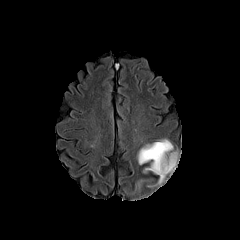
FLAIR magnetic resonance.
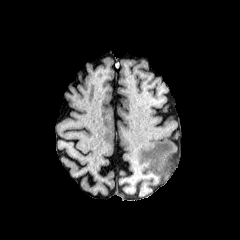
T1-weighted MR.
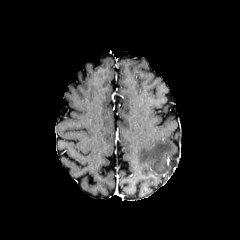
Same slice, post-contrast T1-weighted magnetic resonance.
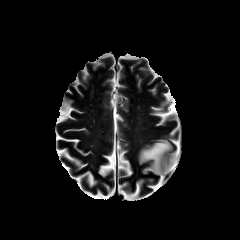
T2-weighted MR image.
Brain | Axial plane
peritumoral edema: bounding box <box>137,139,177,185</box>